Axial view, 240x240, Slice index 47
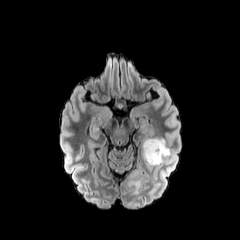
FLAIR MRI.
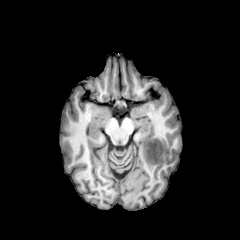
Same slice, T1-weighted MRI.
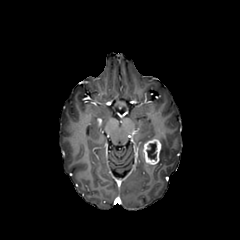
Same slice, post-contrast T1-weighted MRI.
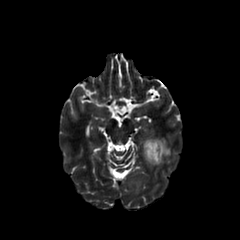
Same slice, T2-weighted magnetic resonance.
necrotic tumor core: bounding box bbox=[146, 142, 156, 159]
peritumoral edema: bounding box bbox=[142, 137, 170, 166]; bbox=[128, 180, 140, 194]
enhancing tumor: bounding box bbox=[143, 138, 161, 164]